240x240 px; Slice 58/155
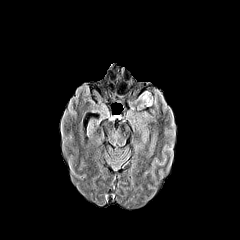
FLAIR MRI.
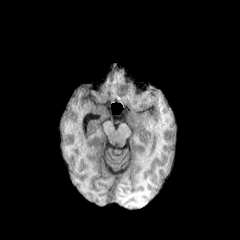
T1-weighted MRI of the same slice.
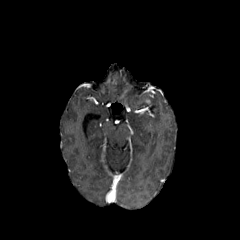
Post-contrast T1-weighted magnetic resonance.
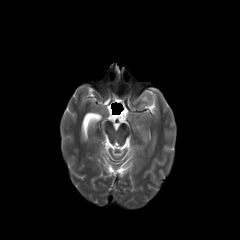
T2-weighted MR image of the same slice.
<segmentation>
  <peritumoral_edema>x1=139, y1=91, x2=152, y2=106</peritumoral_edema>
</segmentation>